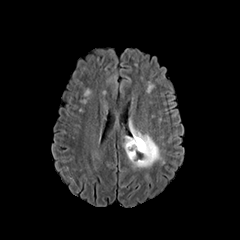
FLAIR MRI.
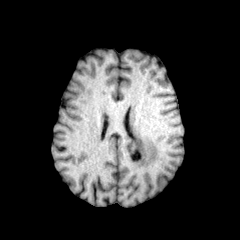
T1-weighted MR of the same slice.
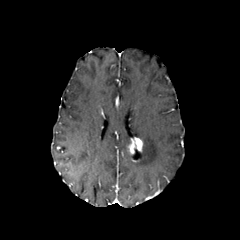
Post-contrast T1-weighted MR of the same slice.
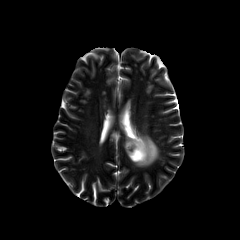
T2-weighted MRI.
Head, 240x240, Axial slice
enhancing tumor: x1=127 y1=137 x2=143 y2=155 | peritumoral edema: x1=130 y1=120 x2=161 y2=167, x1=123 y1=136 x2=134 y2=161